FLAIR MRI.
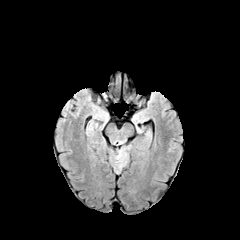
T1-weighted MRI.
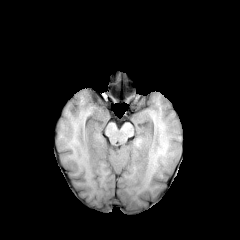
Post-contrast T1-weighted MRI.
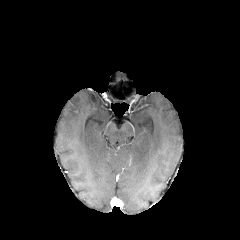
T2-weighted MRI.
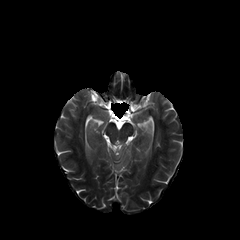
Image size 240x240.
{
  "peritumoral_edema": [
    "116,148,127,168"
  ]
}